FLAIR MR image.
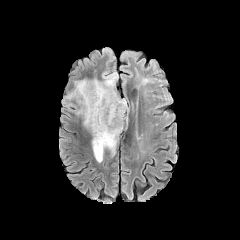
T1-weighted MR image.
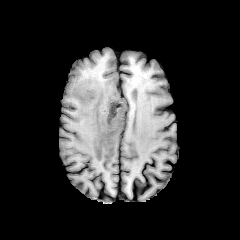
Post-contrast T1-weighted magnetic resonance.
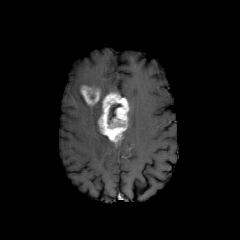
T2-weighted MRI.
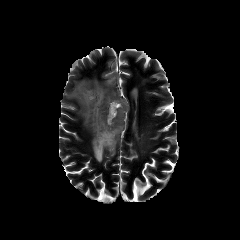
Axial view
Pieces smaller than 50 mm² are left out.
enhancing tumor = 97 91 129 145, 80 85 100 106
necrotic tumor core = 107 103 124 128
peritumoral edema = 68 76 116 162